FLAIR MRI.
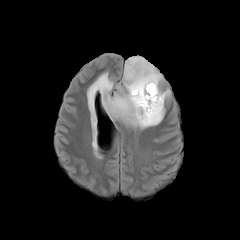
T1-weighted magnetic resonance.
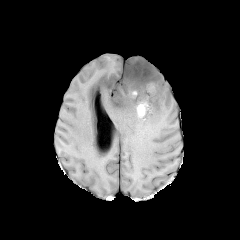
Post-contrast T1-weighted MR.
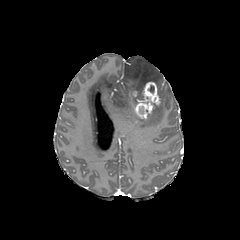
T2-weighted MRI.
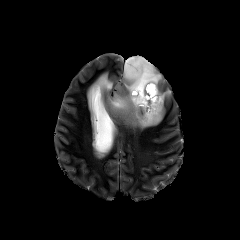
Brain
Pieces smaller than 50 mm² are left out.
<segmentation>
  <peritumoral_edema>87:56:170:128</peritumoral_edema>
  <enhancing_tumor>133:81:160:118</enhancing_tumor>
</segmentation>